Axial slice
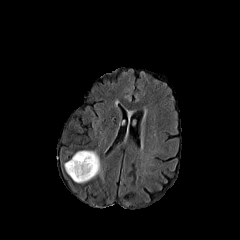
FLAIR MRI.
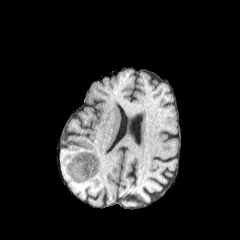
Same slice, T1-weighted MR.
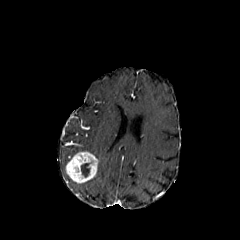
Post-contrast T1-weighted MR.
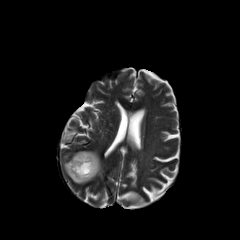
Same slice, T2-weighted MR.
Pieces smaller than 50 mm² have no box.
enhancing tumor: bounding box [66, 151, 98, 183]
necrotic tumor core: bounding box [81, 163, 89, 177]
peritumoral edema: bounding box [88, 151, 102, 178]